FLAIR MR image.
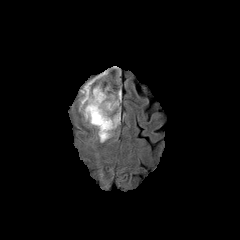
T1-weighted MRI.
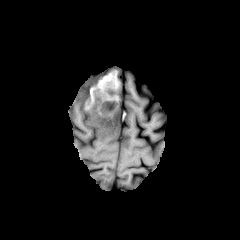
Post-contrast T1-weighted MR image.
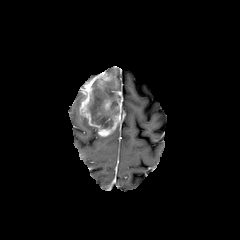
T2-weighted MRI.
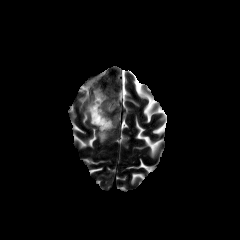
Axial plane, Head
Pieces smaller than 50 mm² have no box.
peritumoral edema: bounding box (97, 130, 113, 142)
enhancing tumor: bounding box (79, 71, 124, 136), (102, 99, 112, 113)
necrotic tumor core: bounding box (88, 78, 120, 128)